Slice index 48
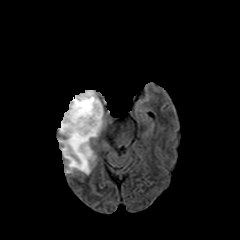
FLAIR magnetic resonance.
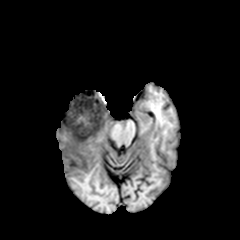
Same slice, T1-weighted magnetic resonance.
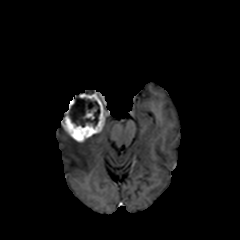
Post-contrast T1-weighted MRI.
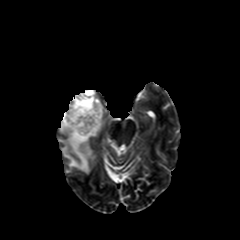
Same slice, T2-weighted magnetic resonance.
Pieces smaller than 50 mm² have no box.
enhancing tumor = 84:108:96:119, 61:92:105:142
peritumoral edema = 58:124:98:174
necrotic tumor core = 69:98:100:127